FLAIR magnetic resonance.
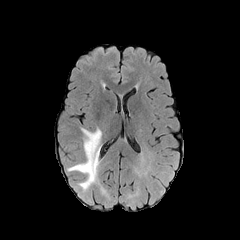
T1-weighted MRI.
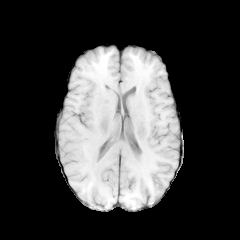
Post-contrast T1-weighted magnetic resonance.
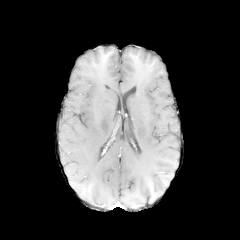
T2-weighted MR.
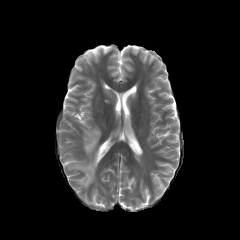
Axial view | Head | 240x240
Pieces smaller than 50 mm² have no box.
The largest peritumoral edema region is at [x1=66, y1=127, x2=101, y2=189].